Brain. Image size 240x240. Slice 38 of 155. Axial slice.
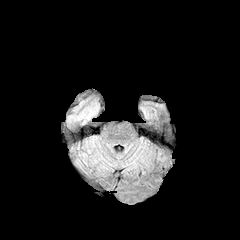
FLAIR magnetic resonance.
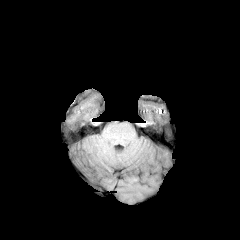
T1-weighted MR image of the same slice.
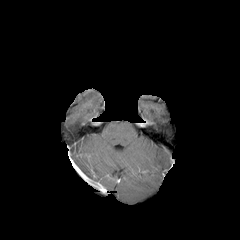
Post-contrast T1-weighted MRI of the same slice.
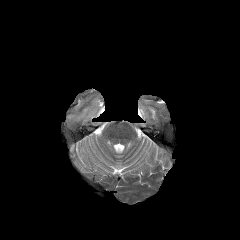
T2-weighted MRI.
Segmented structures:
* peritumoral edema: [66, 96, 99, 130]